Head | Slice 126/155
FLAIR magnetic resonance.
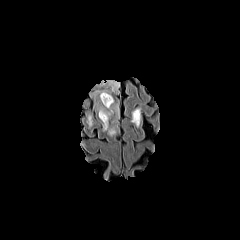
T1-weighted MRI.
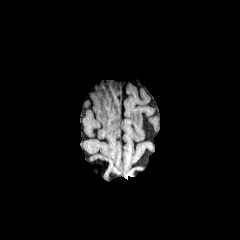
Post-contrast T1-weighted MR.
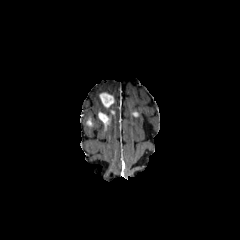
T2-weighted MR.
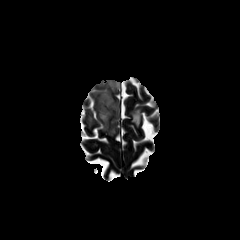
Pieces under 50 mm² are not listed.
enhancing tumor: <box>98,112,109,129</box>, <box>99,92,114,107</box>
peritumoral edema: <box>131,108,141,127</box>, <box>91,80,119,122</box>, <box>102,122,117,136</box>